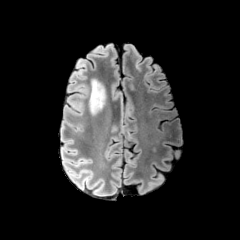
FLAIR magnetic resonance.
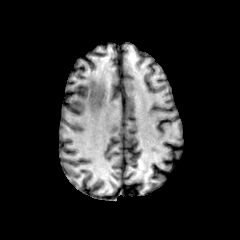
Same slice, T1-weighted magnetic resonance.
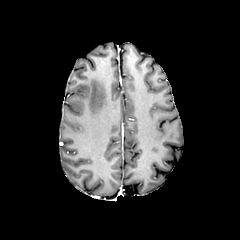
Post-contrast T1-weighted MRI.
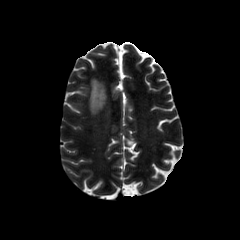
T2-weighted MRI.
Brain. Axial plane.
The peritumoral edema lies within box=[89, 78, 106, 115].